Slice 114 of 155. Brain. Image covers 240 mm x 240 mm.
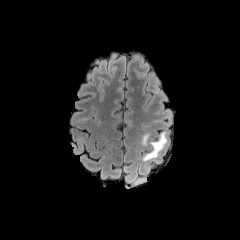
FLAIR MRI.
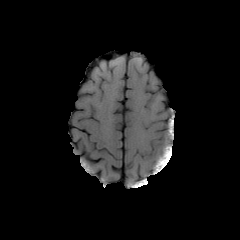
Same slice, T1-weighted magnetic resonance.
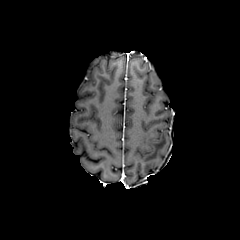
Post-contrast T1-weighted magnetic resonance.
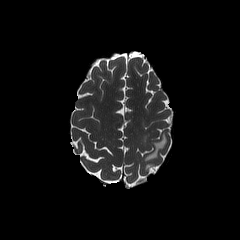
T2-weighted magnetic resonance.
peritumoral edema: (143, 132, 166, 161), (142, 134, 148, 144)